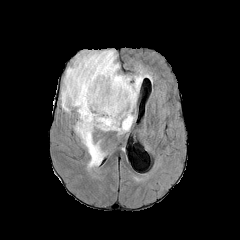
FLAIR MRI.
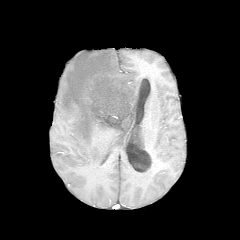
T1-weighted MRI.
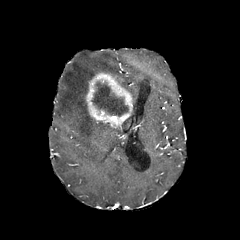
Post-contrast T1-weighted MRI of the same slice.
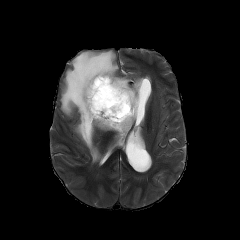
Same slice, T2-weighted MR.
Brain
necrotic tumor core: bounding box [x1=92, y1=82, x2=128, y2=116]
enhancing tumor: bounding box [x1=85, y1=72, x2=134, y2=129]
peritumoral edema: bounding box [x1=60, y1=50, x2=151, y2=167]